FLAIR MR.
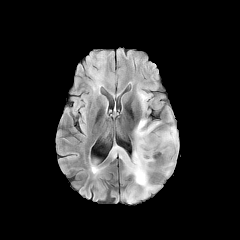
T1-weighted MR image.
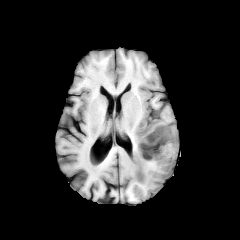
Post-contrast T1-weighted MRI.
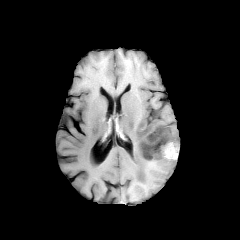
T2-weighted MR image.
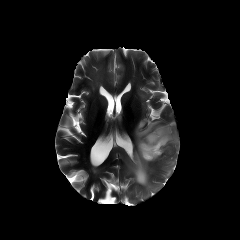
Axial view, 240x240
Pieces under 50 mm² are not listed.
The 2 largest peritumoral edema regions appear at left=120, top=118, right=178, bottom=197; left=164, top=159, right=175, bottom=176. The enhancing tumor lies within left=141, top=129, right=177, bottom=159. The necrotic tumor core lies within left=142, top=131, right=171, bottom=158.